FLAIR magnetic resonance.
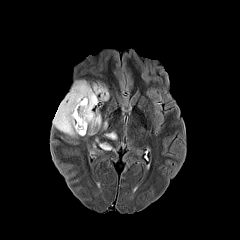
T1-weighted MR image.
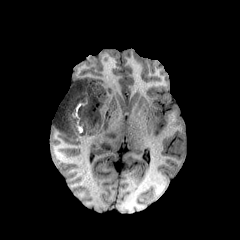
Post-contrast T1-weighted MRI.
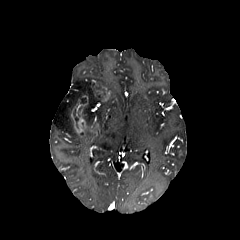
T2-weighted MRI.
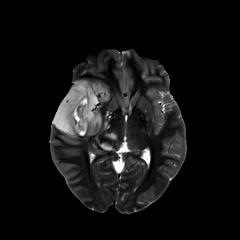
Brain
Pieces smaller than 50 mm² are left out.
Findings:
- necrotic tumor core: (78, 95, 102, 130), (73, 108, 78, 128)
- peritumoral edema: (99, 142, 111, 150), (53, 80, 102, 137), (105, 132, 115, 139), (95, 110, 101, 128)
- enhancing tumor: (96, 86, 108, 101), (70, 99, 86, 136)